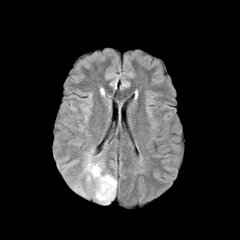
FLAIR MR image.
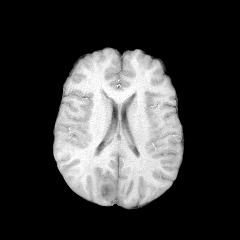
T1-weighted MR image of the same slice.
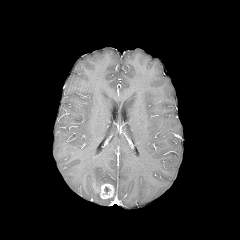
Post-contrast T1-weighted MRI.
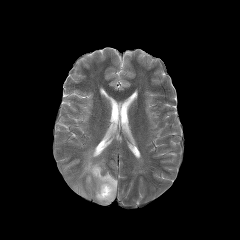
Same slice, T2-weighted MR.
Head, Axial plane
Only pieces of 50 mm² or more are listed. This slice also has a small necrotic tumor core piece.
peritumoral edema: 72:148:117:204
enhancing tumor: 95:183:114:199